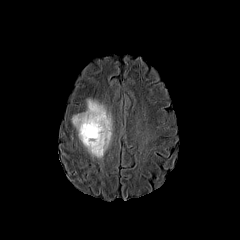
FLAIR magnetic resonance.
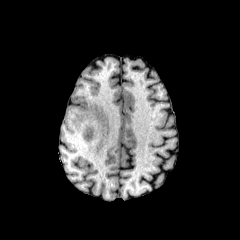
T1-weighted MR image.
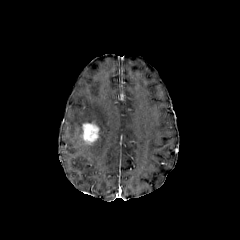
Same slice, post-contrast T1-weighted MRI.
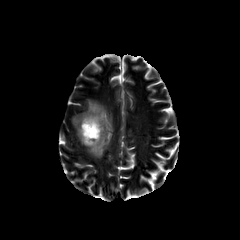
T2-weighted MR image.
Axial plane.
The enhancing tumor is bounded by box(81, 121, 99, 144). The peritumoral edema is located at box(72, 99, 112, 158).